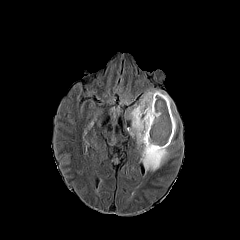
FLAIR MR image.
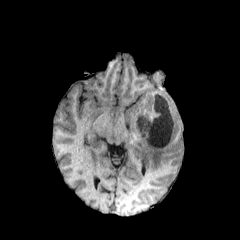
T1-weighted magnetic resonance of the same slice.
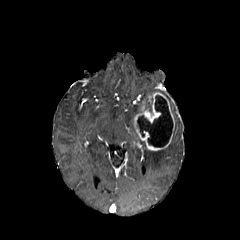
Post-contrast T1-weighted MRI of the same slice.
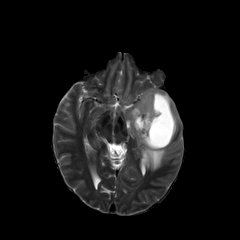
T2-weighted magnetic resonance of the same slice.
Brain. Axial view.
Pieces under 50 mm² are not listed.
The largest peritumoral edema region is bounded by box=[128, 89, 177, 170]. The necrotic tumor core is bounded by box=[137, 95, 173, 147]. The enhancing tumor is bounded by box=[133, 92, 175, 151].